FLAIR MR.
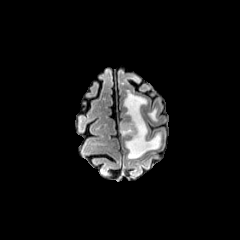
T1-weighted magnetic resonance.
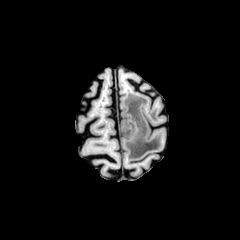
Post-contrast T1-weighted MR image.
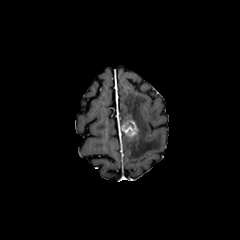
T2-weighted MRI.
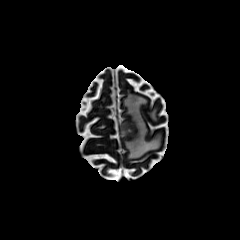
Head
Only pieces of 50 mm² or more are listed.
{
  "peritumoral_edema": [
    "box=[148, 108, 156, 120]",
    "box=[123, 90, 161, 158]"
  ],
  "enhancing_tumor": [
    "box=[119, 119, 138, 137]"
  ]
}